Brain
FLAIR MR image.
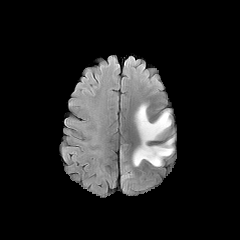
T1-weighted MRI.
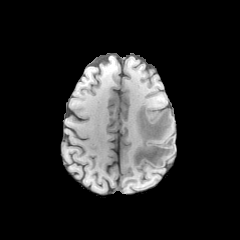
Post-contrast T1-weighted MRI.
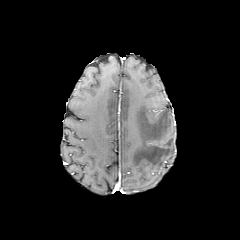
T2-weighted MRI.
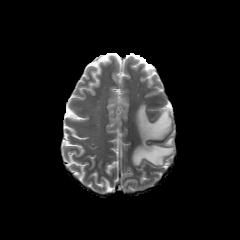
<segmentation>
  <peritumoral_edema>rect(132, 104, 173, 166)</peritumoral_edema>
</segmentation>